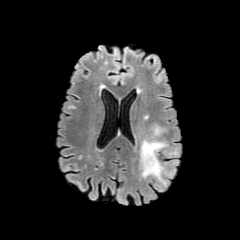
FLAIR MRI.
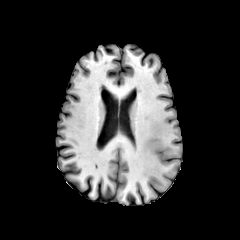
Same slice, T1-weighted magnetic resonance.
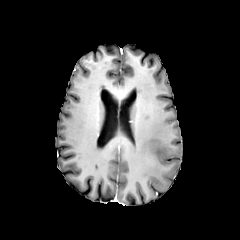
Post-contrast T1-weighted MR image of the same slice.
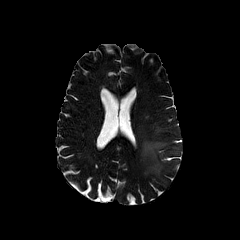
T2-weighted MR.
Head, Axial view
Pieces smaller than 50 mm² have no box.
peritumoral edema at bbox=[140, 140, 165, 180]